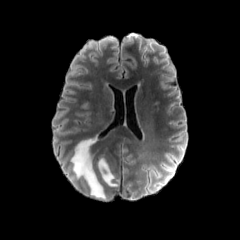
FLAIR magnetic resonance.
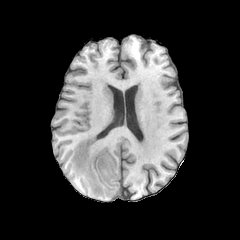
T1-weighted MR of the same slice.
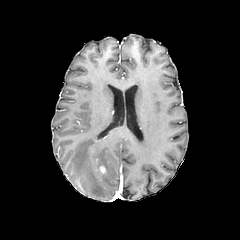
Same slice, post-contrast T1-weighted magnetic resonance.
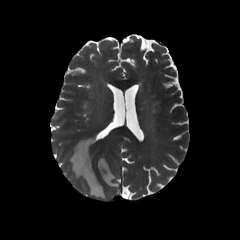
T2-weighted MRI.
Brain
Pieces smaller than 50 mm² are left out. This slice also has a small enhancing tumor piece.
Findings:
- peritumoral edema: box=[71, 138, 106, 199]; box=[98, 158, 116, 186]